FLAIR magnetic resonance.
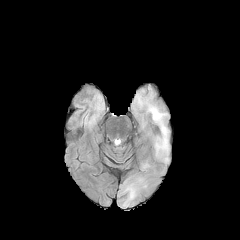
T1-weighted MRI.
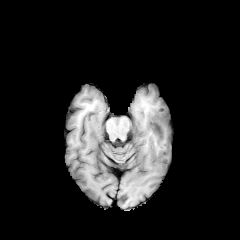
Post-contrast T1-weighted MRI.
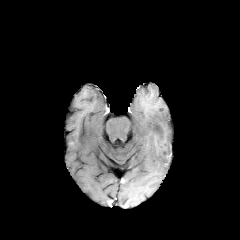
T2-weighted MR.
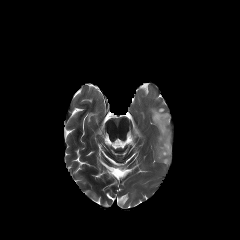
Brain
peritumoral edema — <box>152,110,167,149</box>